Slice index 60 | 240x240 | Brain
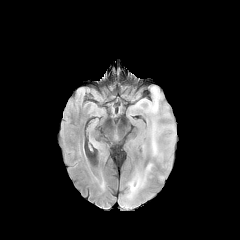
FLAIR MR.
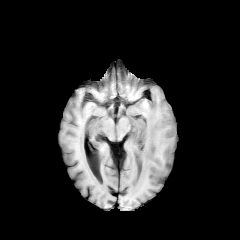
T1-weighted MR image.
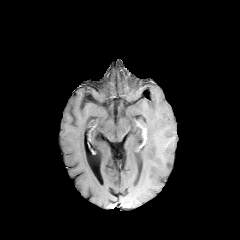
Post-contrast T1-weighted magnetic resonance of the same slice.
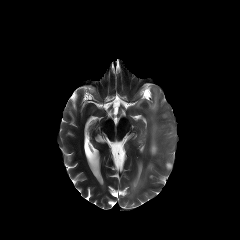
T2-weighted magnetic resonance of the same slice.
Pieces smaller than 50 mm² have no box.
peritumoral edema: bounding box bbox=[132, 179, 142, 190]; bbox=[151, 122, 158, 155]